FLAIR MRI.
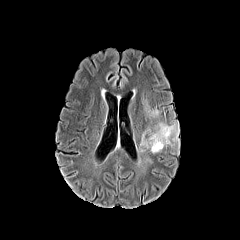
T1-weighted MRI.
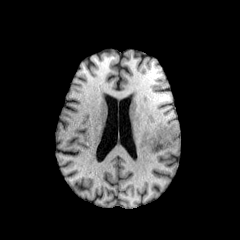
Post-contrast T1-weighted magnetic resonance.
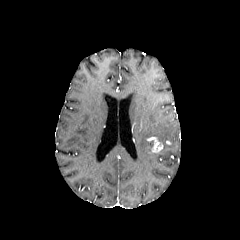
T2-weighted magnetic resonance.
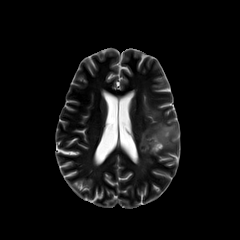
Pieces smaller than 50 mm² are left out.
Annotated regions:
• peritumoral edema: (x1=140, y1=123, x2=178, y2=148)
• enhancing tumor: (x1=147, y1=137, x2=163, y2=153)